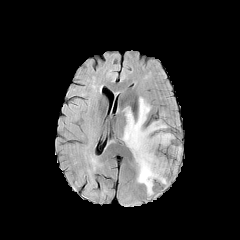
FLAIR magnetic resonance.
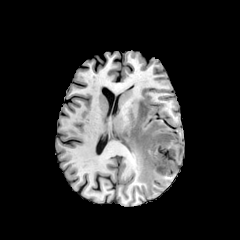
T1-weighted magnetic resonance.
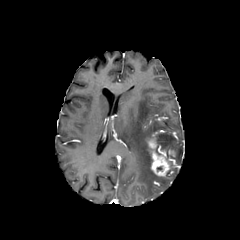
Post-contrast T1-weighted MR.
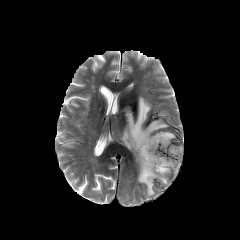
Same slice, T2-weighted magnetic resonance.
Head; Image size 240x240
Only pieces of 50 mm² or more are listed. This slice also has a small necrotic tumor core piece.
The enhancing tumor is bounded by box=[147, 135, 177, 176]. The 3 largest peritumoral edema regions appear at box=[171, 145, 182, 160]; box=[156, 132, 173, 152]; box=[121, 97, 167, 195].